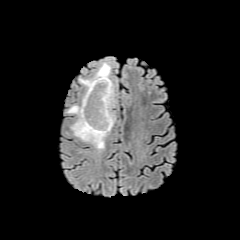
FLAIR magnetic resonance.
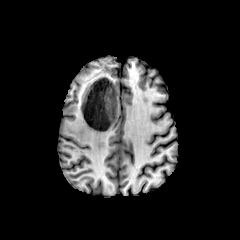
T1-weighted MRI.
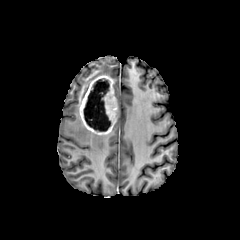
Post-contrast T1-weighted MR.
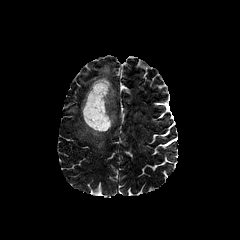
Same slice, T2-weighted MR.
Head; Axial slice
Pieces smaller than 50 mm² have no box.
* necrotic tumor core: (left=84, top=78, right=111, bottom=131)
* peritumoral edema: (left=67, top=105, right=108, bottom=150), (left=79, top=62, right=111, bottom=91)
* enhancing tumor: (left=79, top=75, right=117, bottom=134)